Slice index 89
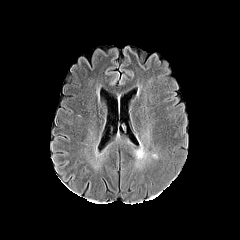
FLAIR MRI.
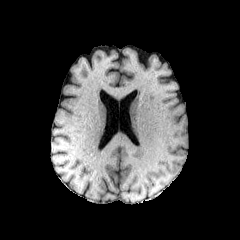
T1-weighted MRI of the same slice.
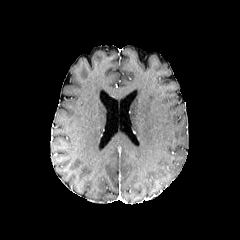
Post-contrast T1-weighted MR.
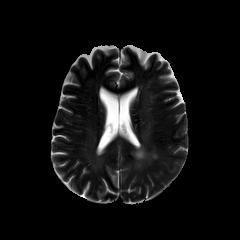
T2-weighted MR.
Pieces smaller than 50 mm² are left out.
peritumoral edema — bbox(135, 145, 147, 166)